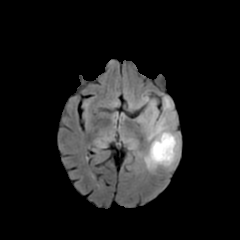
FLAIR MR.
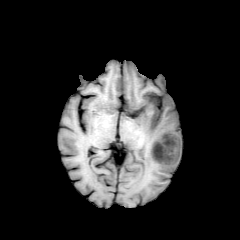
T1-weighted MR.
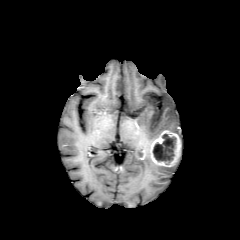
Same slice, post-contrast T1-weighted magnetic resonance.
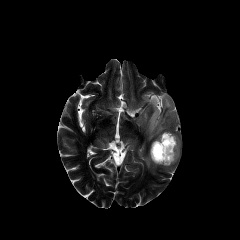
T2-weighted MR image.
Image size 240x240, Axial view
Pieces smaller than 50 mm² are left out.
Annotated regions:
• enhancing tumor: left=150, top=130, right=181, bottom=166
• necrotic tumor core: left=153, top=134, right=176, bottom=162
• peritumoral edema: left=130, top=92, right=180, bottom=172